Axial plane; Head; 240x240 px
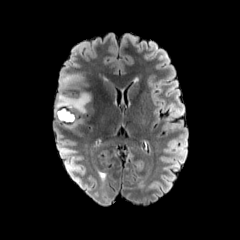
FLAIR magnetic resonance.
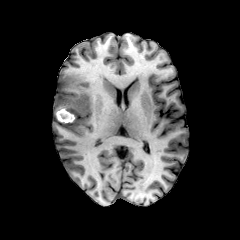
T1-weighted MR image.
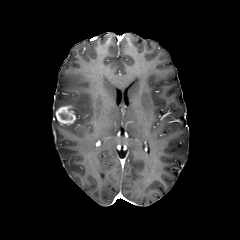
Post-contrast T1-weighted MRI of the same slice.
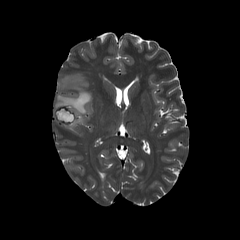
T2-weighted MR of the same slice.
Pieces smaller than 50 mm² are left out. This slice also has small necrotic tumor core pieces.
Segmented structures:
- enhancing tumor: <bbox>55, 105, 76, 126</bbox>
- peritumoral edema: <bbox>54, 73, 91, 114</bbox>